Head.
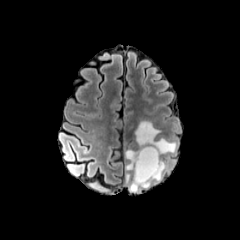
FLAIR magnetic resonance.
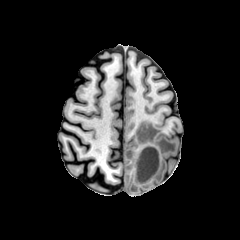
Same slice, T1-weighted MRI.
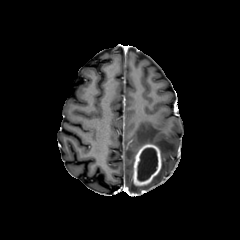
Post-contrast T1-weighted magnetic resonance.
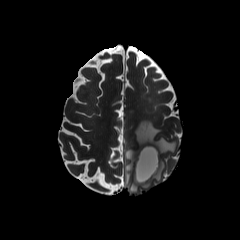
T2-weighted MR.
<segmentation>
  <peritumoral_edema>(left=125, top=121, right=177, bottom=192)</peritumoral_edema>
  <enhancing_tumor>(left=133, top=143, right=161, bottom=186)</enhancing_tumor>
  <necrotic_tumor_core>(left=137, top=148, right=157, bottom=181)</necrotic_tumor_core>
</segmentation>